Brain, Slice 104 of 155, Axial slice
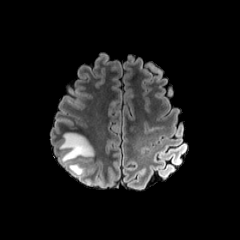
FLAIR MR.
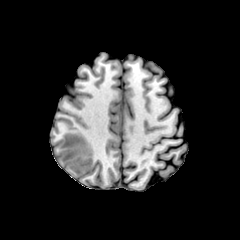
Same slice, T1-weighted magnetic resonance.
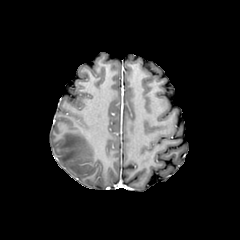
Post-contrast T1-weighted magnetic resonance of the same slice.
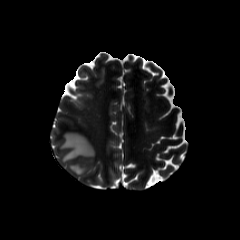
T2-weighted MR image.
Findings:
• peritumoral edema: [59, 132, 94, 162], [68, 163, 85, 175]